Head. Axial slice.
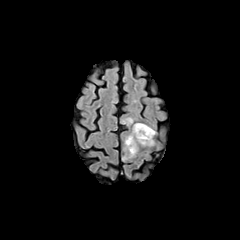
FLAIR MR.
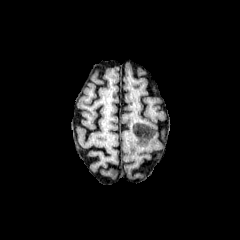
Same slice, T1-weighted magnetic resonance.
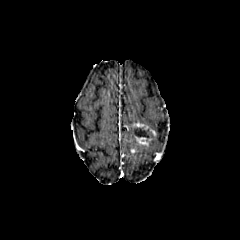
Post-contrast T1-weighted magnetic resonance.
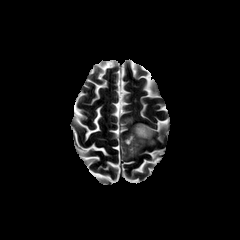
Same slice, T2-weighted magnetic resonance.
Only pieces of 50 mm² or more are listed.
enhancing tumor: <bbox>133, 135, 152, 146</bbox>, <bbox>132, 123, 155, 136</bbox> | peritumoral edema: <bbox>124, 128, 138, 159</bbox>, <bbox>123, 117, 133, 124</bbox> | necrotic tumor core: <bbox>134, 128, 152, 137</bbox>